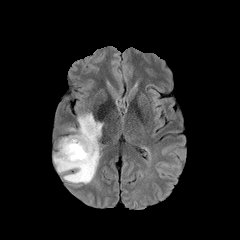
FLAIR MR image.
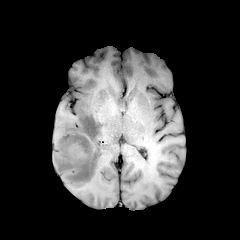
T1-weighted magnetic resonance.
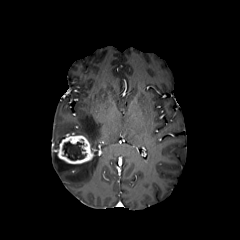
Post-contrast T1-weighted MRI.
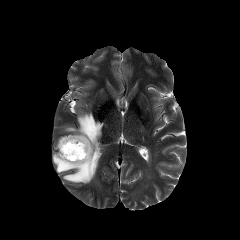
T2-weighted MR.
Axial slice; Head
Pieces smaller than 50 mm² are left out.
enhancing tumor: x1=57, y1=134, x2=94, y2=164 | peritumoral edema: x1=53, y1=113, x2=102, y2=183 | necrotic tumor core: x1=63, y1=141, x2=86, y2=160